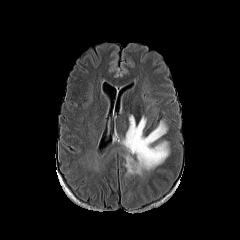
FLAIR magnetic resonance.
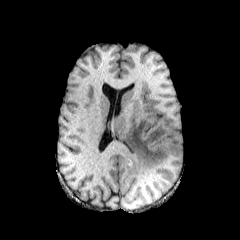
T1-weighted MR image.
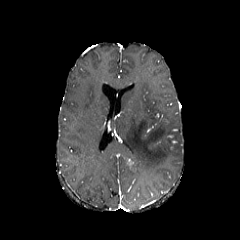
Post-contrast T1-weighted magnetic resonance.
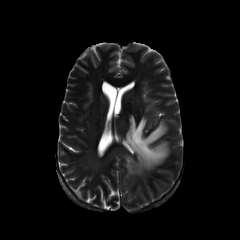
T2-weighted MR image.
Brain; 240x240 px
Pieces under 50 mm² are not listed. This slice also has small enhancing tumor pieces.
peritumoral edema: [123, 115, 169, 175]